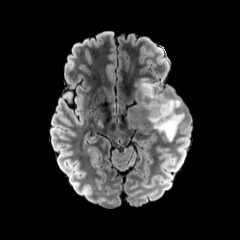
FLAIR magnetic resonance.
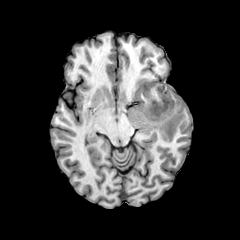
T1-weighted MR image.
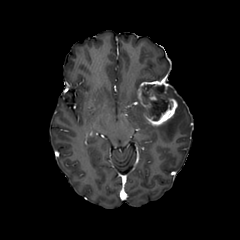
Post-contrast T1-weighted MRI.
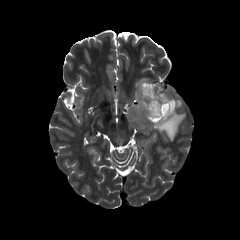
T2-weighted MR image.
Axial slice.
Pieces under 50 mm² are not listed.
{"enhancing_tumor": ["region(137, 80, 177, 125)"], "necrotic_tumor_core": ["region(142, 84, 168, 120)"], "peritumoral_edema": ["region(134, 91, 143, 110)", "region(153, 86, 184, 140)", "region(136, 78, 151, 89)"]}